Image covers 240 mm x 240 mm. Slice 94/155. Head.
FLAIR magnetic resonance.
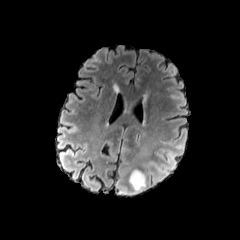
T1-weighted MR.
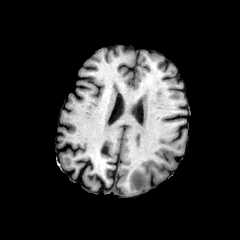
Post-contrast T1-weighted MR image.
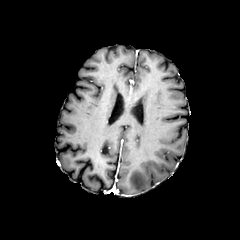
T2-weighted MR image.
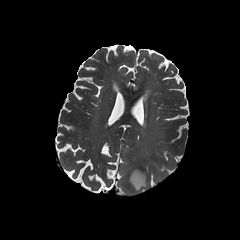
peritumoral edema — [x1=129, y1=169, x2=146, y2=193]